Axial plane; Brain; Slice 74 of 155
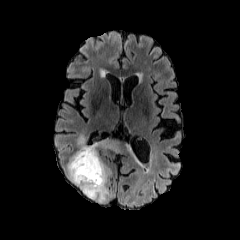
FLAIR MR.
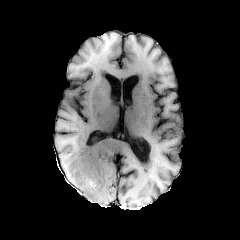
T1-weighted MR image of the same slice.
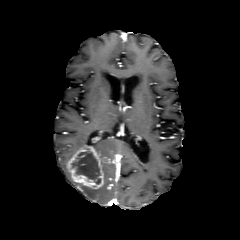
Post-contrast T1-weighted magnetic resonance.
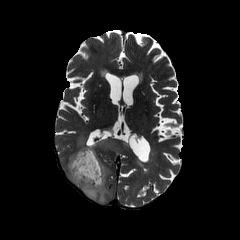
T2-weighted MRI.
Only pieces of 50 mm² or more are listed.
Segmented structures:
* peritumoral edema: [x1=77, y1=135, x2=86, y2=149], [x1=90, y1=139, x2=122, y2=153], [x1=66, y1=159, x2=110, y2=202]
* necrotic tumor core: [x1=72, y1=150, x2=100, y2=184]
* enhancing tumor: [x1=69, y1=146, x2=103, y2=188]